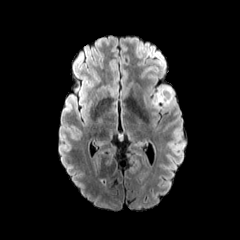
FLAIR MRI.
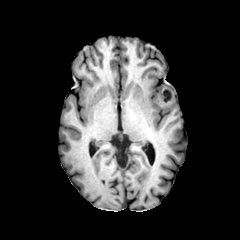
T1-weighted MRI of the same slice.
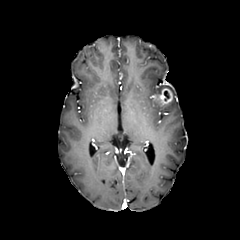
Post-contrast T1-weighted MRI of the same slice.
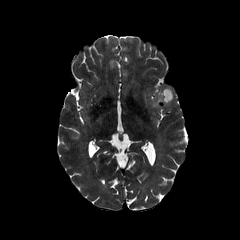
T2-weighted MR image of the same slice.
Head
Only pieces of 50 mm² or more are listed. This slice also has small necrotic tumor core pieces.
<segmentation>
  <peritumoral_edema>[155,86,172,95]</peritumoral_edema>
  <enhancing_tumor>[154,88,173,104]</enhancing_tumor>
</segmentation>